FLAIR MR image.
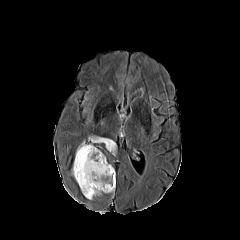
T1-weighted MR image.
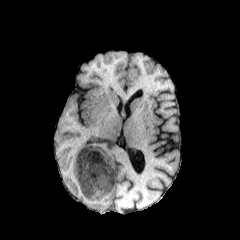
Post-contrast T1-weighted magnetic resonance.
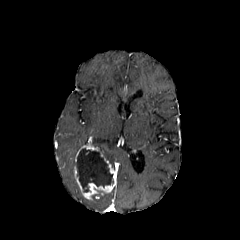
T2-weighted magnetic resonance.
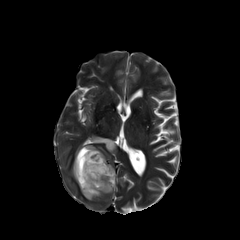
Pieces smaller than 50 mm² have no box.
<segmentation>
  <enhancing_tumor><bbox>74, 144, 115, 199</bbox></enhancing_tumor>
  <peritumoral_edema><bbox>92, 136, 115, 155</bbox></peritumoral_edema>
  <necrotic_tumor_core><bbox>75, 148, 113, 192</bbox></necrotic_tumor_core>
</segmentation>